Head.
FLAIR MRI.
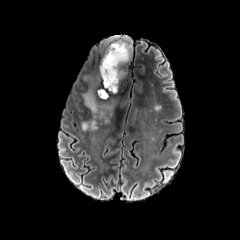
T1-weighted MR image.
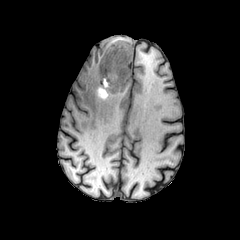
Post-contrast T1-weighted MR.
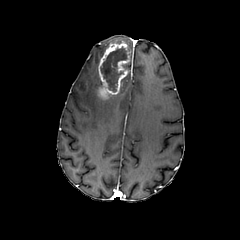
T2-weighted MR.
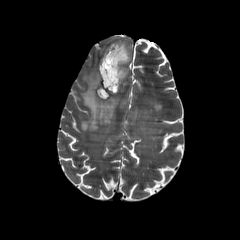
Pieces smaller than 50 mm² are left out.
The enhancing tumor is at (x1=98, y1=41, x2=130, y2=99). The necrotic tumor core appears at (x1=101, y1=47, x2=126, y2=91). The 2 largest peritumoral edema regions are bounded by (x1=81, y1=82, x2=119, y2=131), (x1=110, y1=35, x2=131, y2=55).